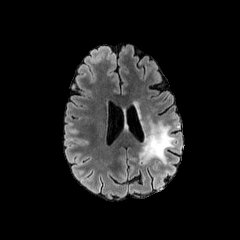
FLAIR magnetic resonance.
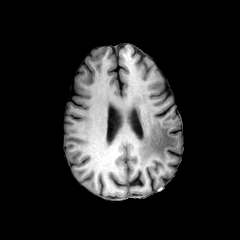
T1-weighted MR.
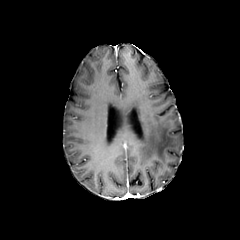
Post-contrast T1-weighted magnetic resonance.
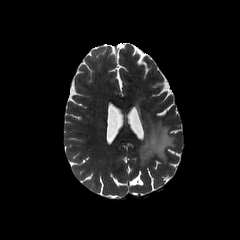
Same slice, T2-weighted MRI.
Axial view | Brain
The peritumoral edema is at left=140, top=121, right=175, bottom=162.